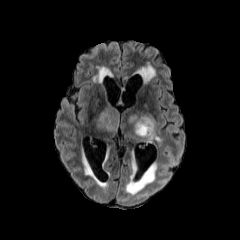
FLAIR magnetic resonance.
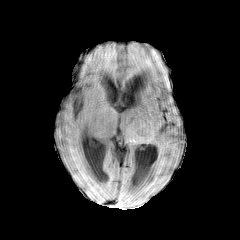
T1-weighted MR.
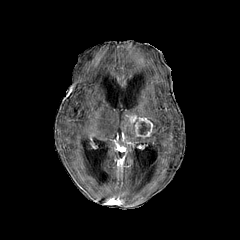
Post-contrast T1-weighted MR image.
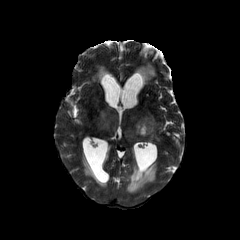
T2-weighted magnetic resonance.
Image size 240x240
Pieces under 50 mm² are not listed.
Findings:
* necrotic tumor core: [x1=138, y1=122, x2=149, y2=134]
* peritumoral edema: [x1=96, y1=105, x2=160, y2=143]
* enhancing tumor: [x1=129, y1=114, x2=153, y2=139]